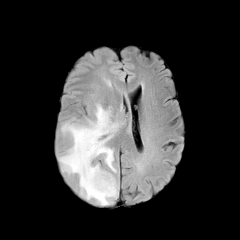
FLAIR MR.
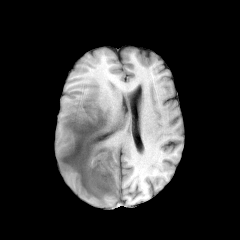
T1-weighted MR image.
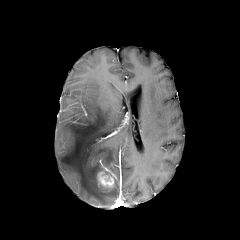
Post-contrast T1-weighted magnetic resonance.
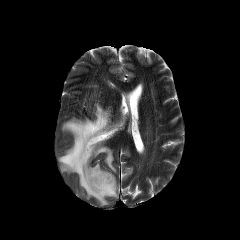
Same slice, T2-weighted magnetic resonance.
Image size 240x240
Annotated regions:
• enhancing tumor: <bbox>97, 167, 114, 190</bbox>
• peritumoral edema: <bbox>58, 103, 121, 205</bbox>